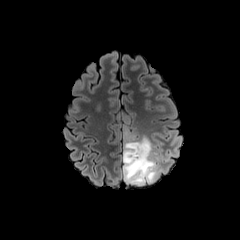
FLAIR magnetic resonance.
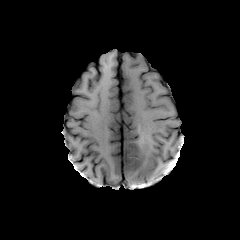
T1-weighted MR of the same slice.
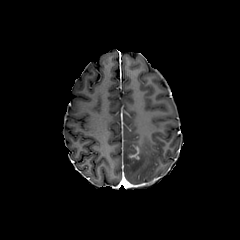
Post-contrast T1-weighted MR of the same slice.
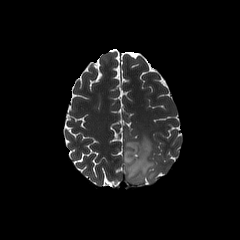
T2-weighted MR.
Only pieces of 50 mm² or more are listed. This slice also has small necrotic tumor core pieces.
enhancing tumor: bounding box [129, 146, 139, 159]
peritumoral edema: bounding box [122, 134, 163, 185]